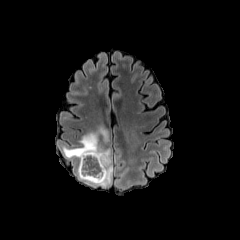
FLAIR MR image.
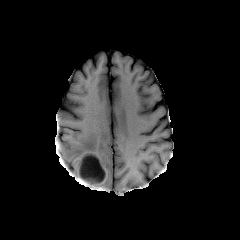
T1-weighted magnetic resonance.
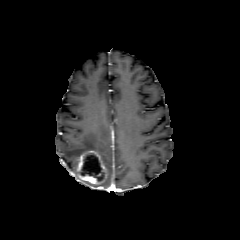
Post-contrast T1-weighted MRI.
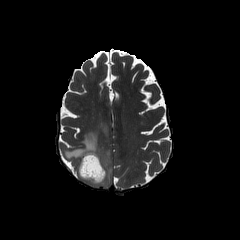
T2-weighted MR.
Axial slice
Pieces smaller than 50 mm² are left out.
peritumoral edema: region(63, 126, 112, 187)
enhancing tumor: region(77, 150, 106, 183)
necrotic tumor core: region(80, 153, 104, 180)